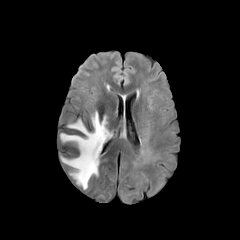
FLAIR magnetic resonance.
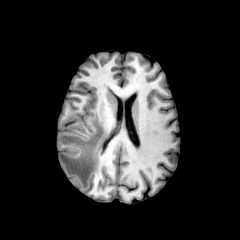
T1-weighted MR.
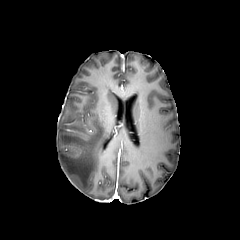
Post-contrast T1-weighted MRI.
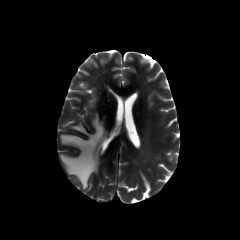
T2-weighted MR image.
Brain
Segmented structures:
• peritumoral edema: (60, 112, 110, 189)